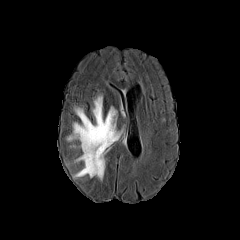
FLAIR MR image.
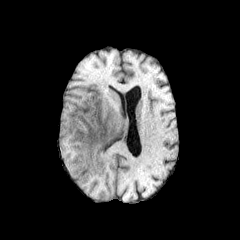
Same slice, T1-weighted MR.
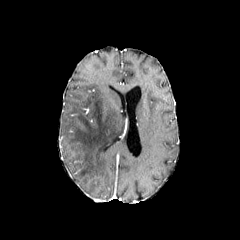
Post-contrast T1-weighted MR image.
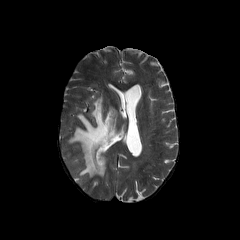
T2-weighted MR image.
Axial slice; Head
peritumoral edema at rect(68, 96, 120, 178)